Brain
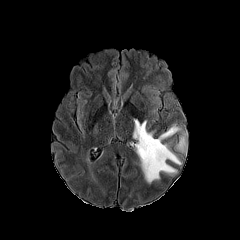
FLAIR MR image.
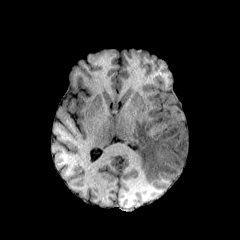
Same slice, T1-weighted magnetic resonance.
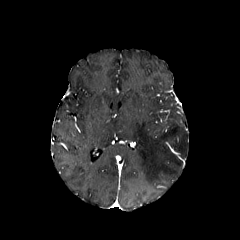
Post-contrast T1-weighted MR image of the same slice.
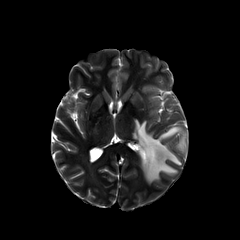
T2-weighted MR image of the same slice.
<segmentation>
  <peritumoral_edema>box(133, 119, 186, 183)</peritumoral_edema>
</segmentation>